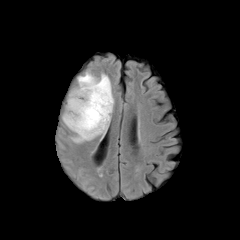
FLAIR magnetic resonance.
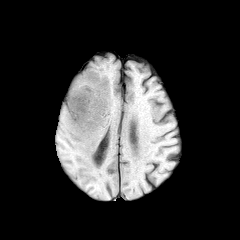
T1-weighted magnetic resonance.
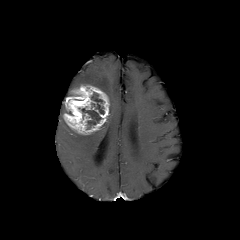
Same slice, post-contrast T1-weighted magnetic resonance.
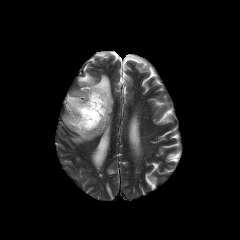
T2-weighted magnetic resonance of the same slice.
Axial slice; 240x240 px
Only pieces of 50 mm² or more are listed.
Segmented structures:
- enhancing tumor: (x1=63, y1=84, x2=109, y2=135)
- necrotic tumor core: (x1=82, y1=108, x2=101, y2=128), (x1=91, y1=93, x2=104, y2=114)
- peritumoral edema: (x1=62, y1=72, x2=113, y2=143)